Axial view.
FLAIR MRI.
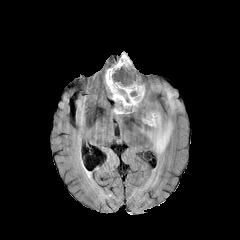
T1-weighted magnetic resonance.
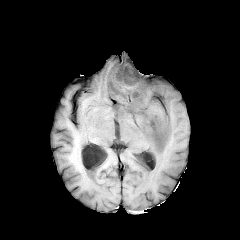
Post-contrast T1-weighted MR.
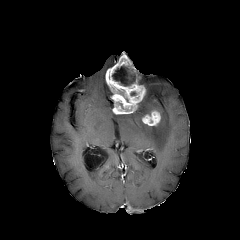
T2-weighted MRI.
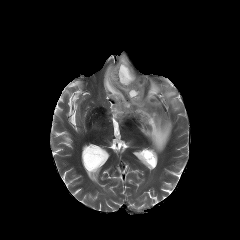
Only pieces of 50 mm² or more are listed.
enhancing tumor: bounding box bbox(105, 52, 145, 114); bbox(142, 111, 160, 125)
necrotic tumor core: bounding box bbox(112, 66, 132, 86)
peritumoral edema: bounding box bbox(140, 111, 172, 153); bbox(135, 83, 181, 119); bbox(104, 76, 111, 96)